Head
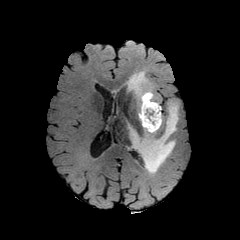
FLAIR MR image.
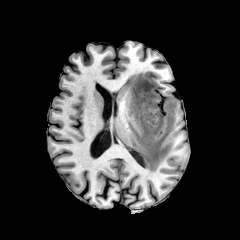
T1-weighted MR image.
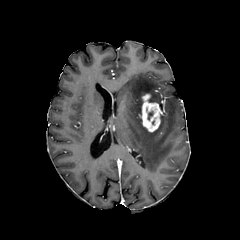
Same slice, post-contrast T1-weighted MR.
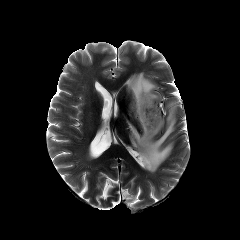
T2-weighted MR.
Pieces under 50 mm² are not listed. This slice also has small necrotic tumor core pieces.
peritumoral_edema:
  - [126,71,158,124]
  - [128,99,178,173]
enhancing_tumor:
  - [139,94,162,132]